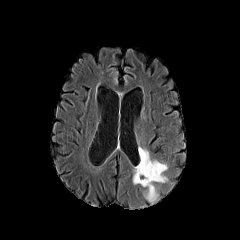
FLAIR magnetic resonance.
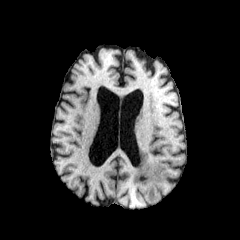
Same slice, T1-weighted MRI.
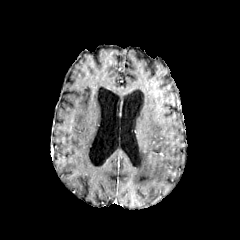
Same slice, post-contrast T1-weighted magnetic resonance.
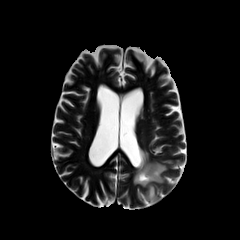
T2-weighted MR image.
Head. Axial plane. 240x240.
peritumoral edema — [133, 147, 167, 202]